FLAIR magnetic resonance.
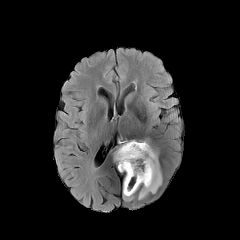
T1-weighted magnetic resonance.
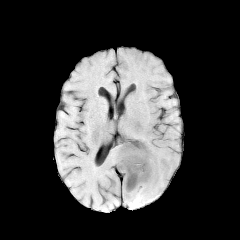
Post-contrast T1-weighted MR image.
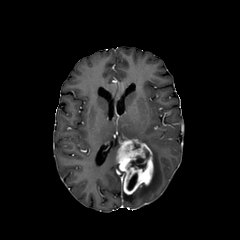
T2-weighted MR image.
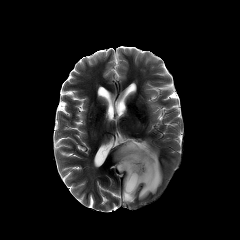
Brain | Axial slice
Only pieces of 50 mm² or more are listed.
peritumoral edema: [138, 140, 162, 199], [123, 190, 136, 201] | enhancing tumor: [116, 139, 153, 194] | necrotic tumor core: [130, 149, 149, 170], [127, 173, 137, 190]